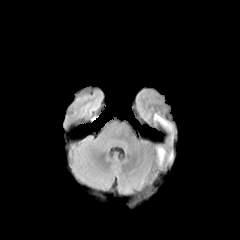
FLAIR MR image.
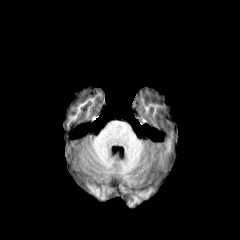
Same slice, T1-weighted MR image.
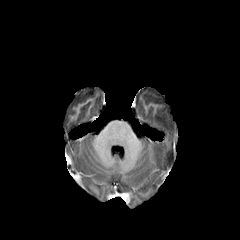
Post-contrast T1-weighted magnetic resonance of the same slice.
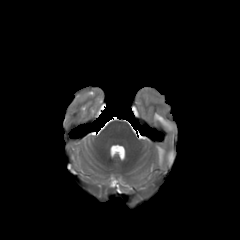
T2-weighted MR of the same slice.
Head
3 peritumoral edema regions appear at (left=167, top=151, right=173, bottom=161), (left=154, top=114, right=172, bottom=130), (left=156, top=147, right=165, bottom=164).